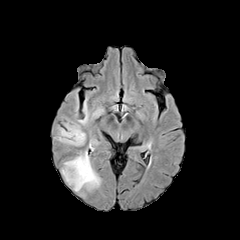
FLAIR MR.
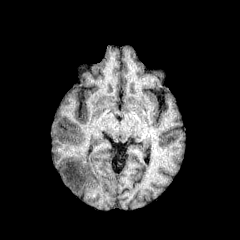
T1-weighted magnetic resonance of the same slice.
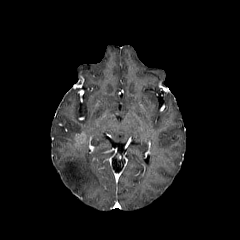
Post-contrast T1-weighted MRI of the same slice.
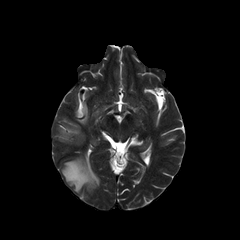
T2-weighted MR.
Head
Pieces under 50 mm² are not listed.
enhancing_tumor:
  - region(73, 132, 85, 146)
peritumoral_edema:
  - region(78, 101, 88, 124)
  - region(61, 151, 100, 191)
  - region(57, 122, 82, 145)